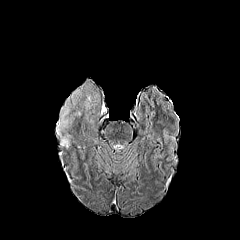
FLAIR MRI.
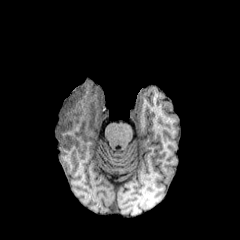
T1-weighted magnetic resonance of the same slice.
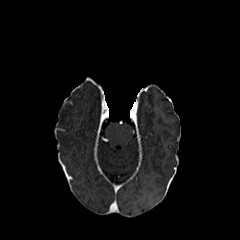
Post-contrast T1-weighted MRI.
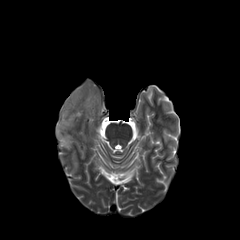
T2-weighted MR image.
<segmentation>
  <peritumoral_edema>x1=57, y1=89, x2=81, y2=148; x1=83, y1=92, x2=99, y2=124</peritumoral_edema>
</segmentation>